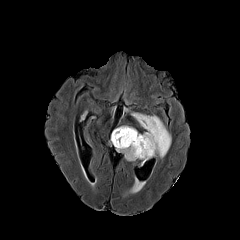
FLAIR MRI.
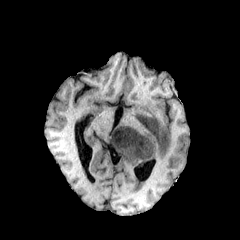
T1-weighted MR image of the same slice.
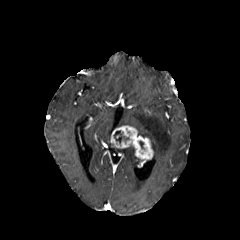
Post-contrast T1-weighted MRI of the same slice.
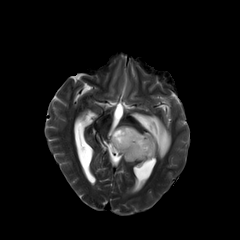
T2-weighted magnetic resonance.
Image size 240x240, Axial plane
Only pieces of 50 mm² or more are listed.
enhancing tumor at [110, 125, 153, 160]
peritumoral edema at [116, 147, 139, 161], [131, 113, 171, 158]
necrotic tumor core at [114, 130, 128, 143]